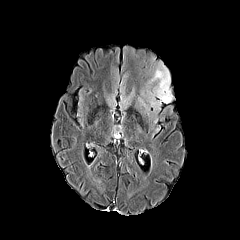
FLAIR MRI.
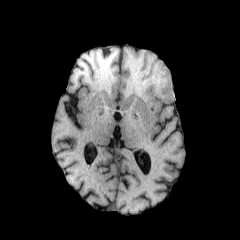
T1-weighted magnetic resonance.
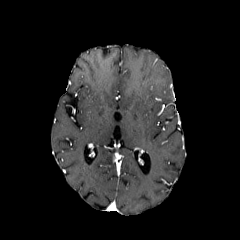
Post-contrast T1-weighted MRI.
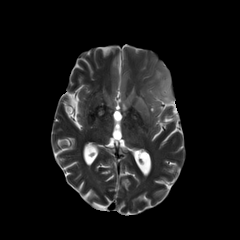
Same slice, T2-weighted magnetic resonance.
Axial view; Head; 240x240
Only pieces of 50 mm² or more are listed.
peritumoral edema: bounding box <bbox>149, 61, 173, 110</bbox>